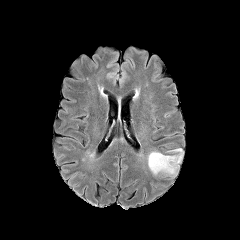
FLAIR MR.
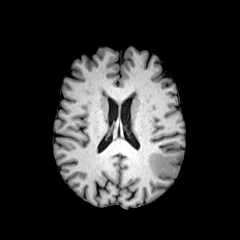
T1-weighted MR image of the same slice.
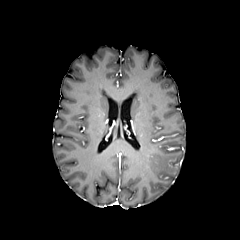
Same slice, post-contrast T1-weighted MRI.
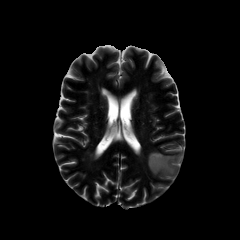
T2-weighted MR image.
Image size 240x240, Axial view
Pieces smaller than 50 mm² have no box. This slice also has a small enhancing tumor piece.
peritumoral_edema:
  - region(147, 148, 183, 177)